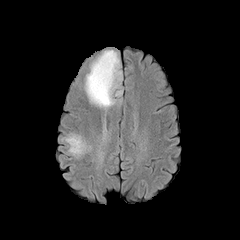
FLAIR MR.
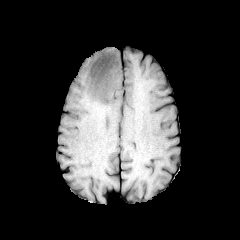
Same slice, T1-weighted MR image.
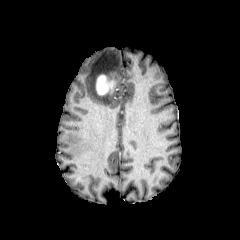
Same slice, post-contrast T1-weighted MR image.
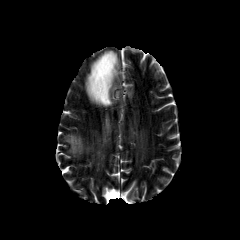
T2-weighted MRI.
Head
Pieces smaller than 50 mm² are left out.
{
  "enhancing_tumor": [
    "region(96, 74, 114, 95)"
  ],
  "peritumoral_edema": [
    "region(85, 50, 121, 108)"
  ]
}